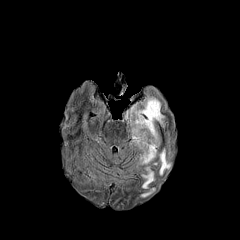
FLAIR MRI.
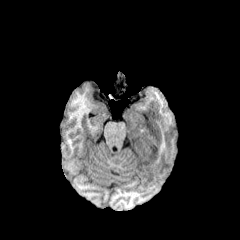
T1-weighted magnetic resonance of the same slice.
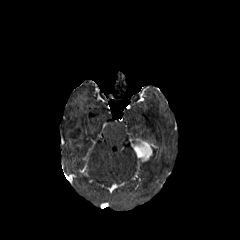
Post-contrast T1-weighted MR.
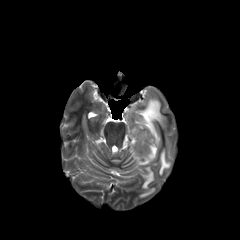
T2-weighted magnetic resonance.
Axial view. Head.
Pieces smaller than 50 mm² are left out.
The enhancing tumor is bounded by region(131, 137, 156, 162). The 5 largest peritumoral edema regions appear at region(140, 188, 154, 197); region(125, 97, 164, 147); region(159, 149, 171, 175); region(141, 166, 154, 188); region(138, 147, 156, 164).